Brain.
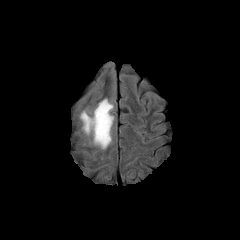
FLAIR MR.
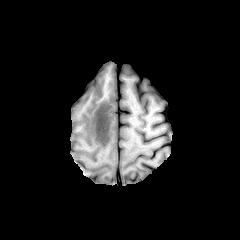
T1-weighted MR image of the same slice.
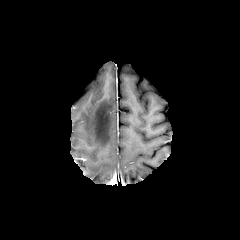
Post-contrast T1-weighted magnetic resonance.
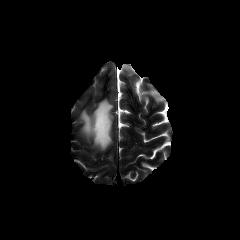
T2-weighted MR image.
The peritumoral edema is at box(80, 99, 113, 149).